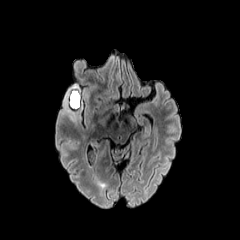
FLAIR MR image.
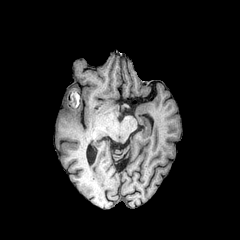
T1-weighted MR.
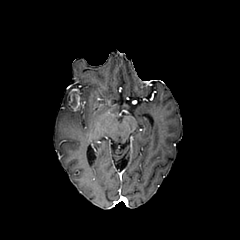
Post-contrast T1-weighted MRI.
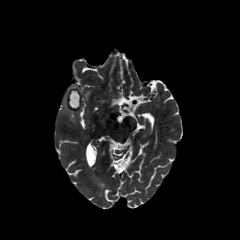
T2-weighted MRI.
Head
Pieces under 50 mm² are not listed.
<segmentation>
  <enhancing_tumor>(69, 88, 80, 110)</enhancing_tumor>
  <peritumoral_edema>(63, 89, 75, 120)</peritumoral_edema>
  <necrotic_tumor_core>(71, 91, 76, 106)</necrotic_tumor_core>
</segmentation>